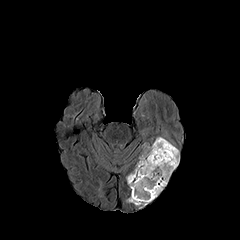
FLAIR MR.
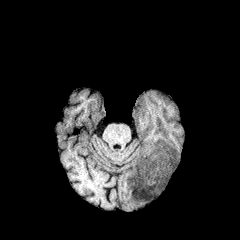
Same slice, T1-weighted MR image.
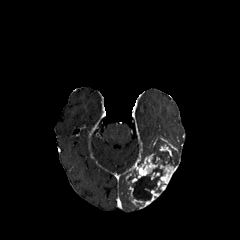
Post-contrast T1-weighted MR image of the same slice.
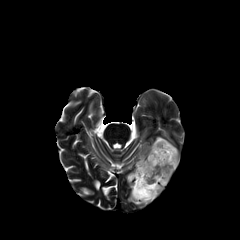
Same slice, T2-weighted MRI.
Axial plane.
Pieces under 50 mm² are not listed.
enhancing tumor: box=[151, 137, 178, 156]; box=[126, 153, 177, 208]
peritumoral edema: box=[140, 143, 152, 156]
necrotic tumor core: box=[150, 139, 178, 166]; box=[131, 166, 162, 201]